FLAIR MR.
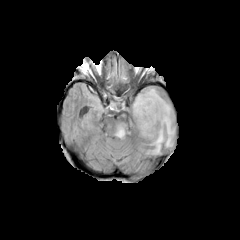
T1-weighted MR.
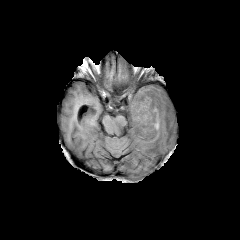
Post-contrast T1-weighted MRI.
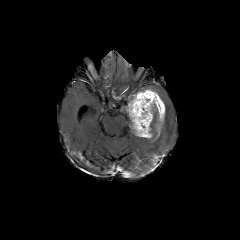
T2-weighted magnetic resonance.
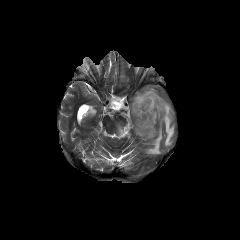
Brain.
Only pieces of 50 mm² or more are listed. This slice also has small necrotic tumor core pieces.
{"enhancing_tumor": ["box(123, 89, 165, 138)"], "peritumoral_edema": ["box(117, 123, 125, 137)", "box(147, 99, 174, 154)"]}